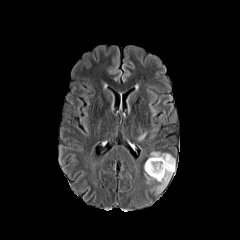
FLAIR magnetic resonance.
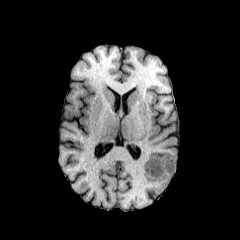
T1-weighted MR image.
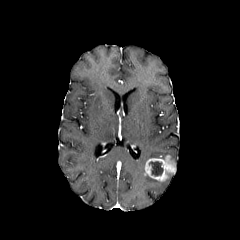
Post-contrast T1-weighted MRI.
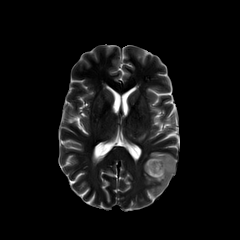
T2-weighted MR.
Brain. Image size 240x240.
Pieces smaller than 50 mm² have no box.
Segmented structures:
• enhancing tumor: (144, 155, 175, 181)
• peritumoral edema: (149, 152, 175, 162), (145, 174, 172, 193)
• necrotic tumor core: (149, 161, 163, 175)